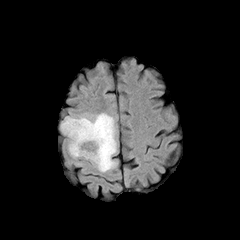
FLAIR magnetic resonance.
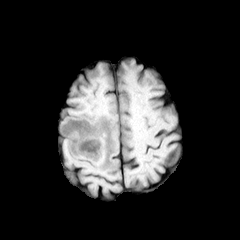
Same slice, T1-weighted magnetic resonance.
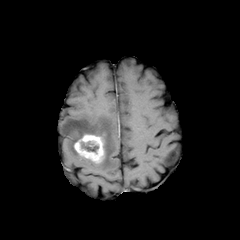
Post-contrast T1-weighted MRI.
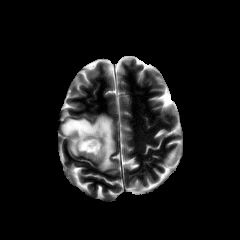
Same slice, T2-weighted MR.
The necrotic tumor core is at region(80, 139, 98, 154). The enhancing tumor appears at region(74, 134, 104, 163). The peritumoral edema appears at region(61, 113, 117, 172).